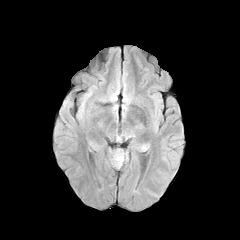
FLAIR magnetic resonance.
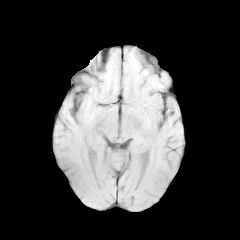
T1-weighted MR image of the same slice.
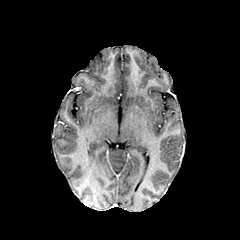
Post-contrast T1-weighted MR of the same slice.
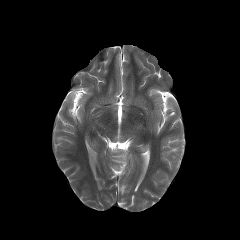
T2-weighted MR.
240x240
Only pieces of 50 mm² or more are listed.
The largest peritumoral edema region lies within [x1=112, y1=150, x2=126, y2=167].